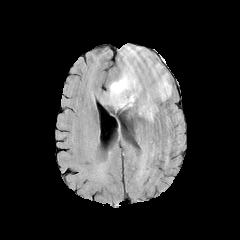
FLAIR MR image.
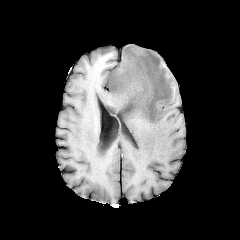
T1-weighted magnetic resonance.
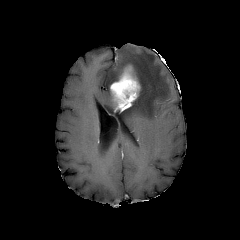
Post-contrast T1-weighted MR.
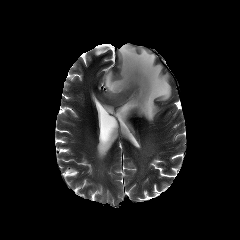
T2-weighted magnetic resonance.
peritumoral_edema:
  - region(101, 45, 172, 122)
enhancing_tumor:
  - region(110, 65, 140, 111)